Brain | Image size 240x240 | Slice 92/155
FLAIR magnetic resonance.
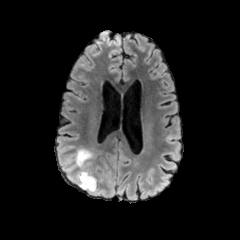
T1-weighted MR image.
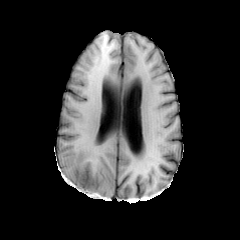
Post-contrast T1-weighted MRI.
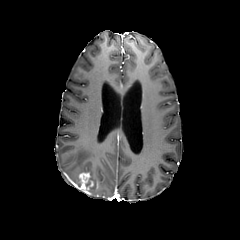
T2-weighted magnetic resonance.
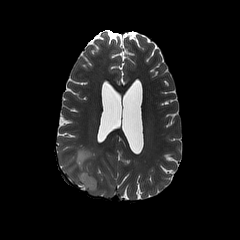
enhancing tumor: region(78, 172, 94, 192)
peritumoral edema: region(65, 148, 97, 193)